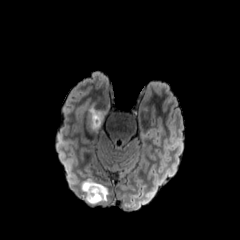
FLAIR MRI.
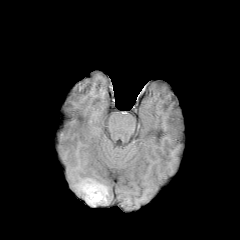
T1-weighted MRI.
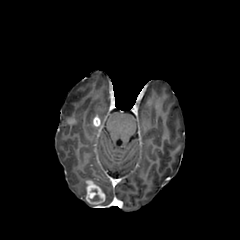
Post-contrast T1-weighted MR.
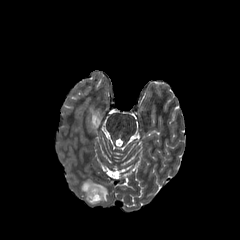
T2-weighted MR.
Axial plane. Brain.
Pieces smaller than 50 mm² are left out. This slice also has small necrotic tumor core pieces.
Findings:
• peritumoral edema: (x1=81, y1=181, x2=86, y2=200), (x1=86, y1=178, x2=108, y2=203), (x1=89, y1=104, x2=106, y2=130)
• enhancing tumor: (x1=92, y1=115, x2=100, y2=126), (x1=86, y1=180, x2=105, y2=205)